FLAIR MRI.
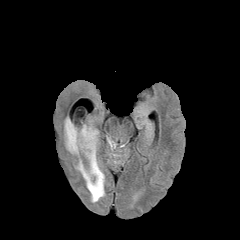
T1-weighted MR.
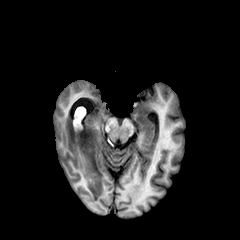
Post-contrast T1-weighted magnetic resonance.
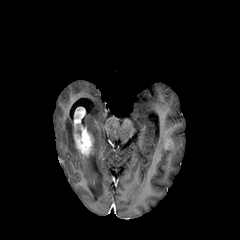
T2-weighted magnetic resonance.
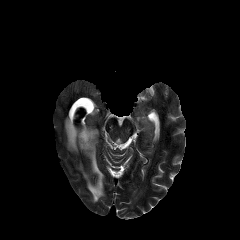
Axial plane, Head
enhancing tumor = region(73, 127, 93, 156)
peritumoral edema = region(64, 117, 80, 156); region(75, 124, 105, 202)